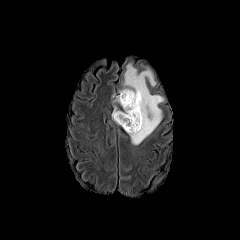
FLAIR MR.
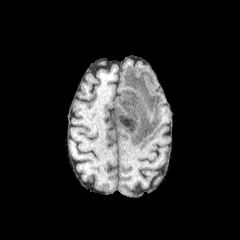
T1-weighted magnetic resonance.
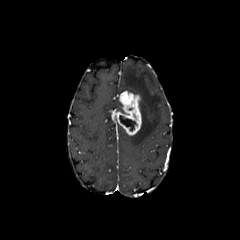
Same slice, post-contrast T1-weighted magnetic resonance.
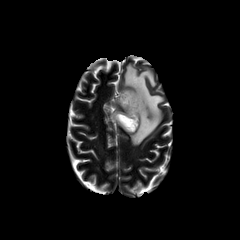
T2-weighted MRI.
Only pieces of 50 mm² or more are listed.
<segmentation>
  <enhancing_tumor>[x1=111, y1=91, x2=141, y2=135]</enhancing_tumor>
  <necrotic_tumor_core>[x1=119, y1=115, x2=136, y2=131]</necrotic_tumor_core>
  <peritumoral_edema>[x1=115, y1=61, x2=166, y2=145]</peritumoral_edema>
</segmentation>